240x240 px; Axial slice
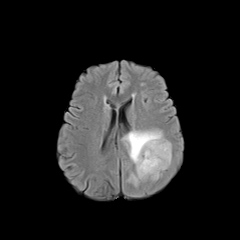
FLAIR MR image.
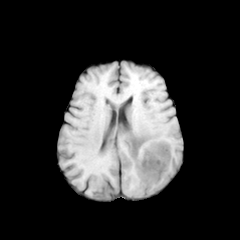
T1-weighted MR image.
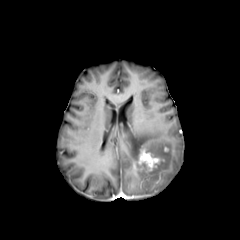
Post-contrast T1-weighted magnetic resonance.
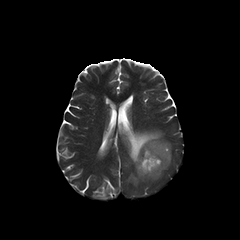
Same slice, T2-weighted MR image.
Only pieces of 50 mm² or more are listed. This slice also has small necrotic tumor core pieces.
<segmentation>
  <peritumoral_edema>(x1=123, y1=130, x2=171, y2=185)</peritumoral_edema>
  <enhancing_tumor>(x1=133, y1=150, x2=159, y2=171)</enhancing_tumor>
</segmentation>